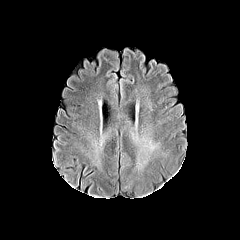
FLAIR MR.
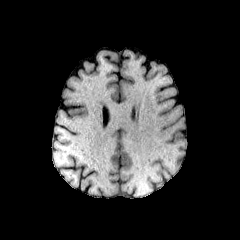
T1-weighted MR.
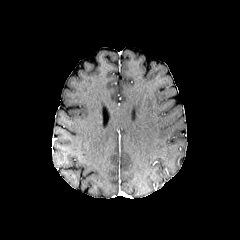
Post-contrast T1-weighted MR of the same slice.
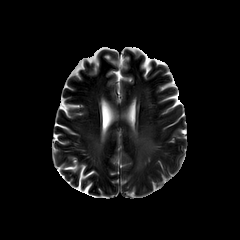
T2-weighted magnetic resonance.
peritumoral edema = (144,141,158,151), (138,159,147,166)